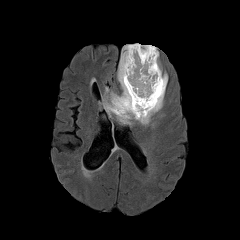
FLAIR MR.
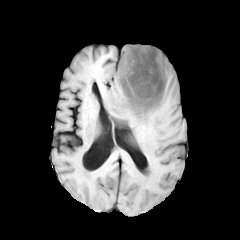
T1-weighted MR image.
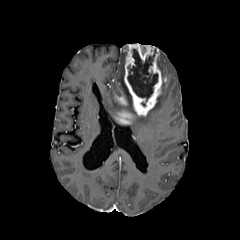
Post-contrast T1-weighted MRI.
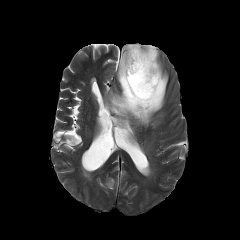
T2-weighted magnetic resonance.
Head
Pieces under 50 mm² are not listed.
peritumoral edema at [130,57,167,125], [103,45,129,116]
necrotic tumor core at [127,49,157,101]
enhancing tumor at [115,43,166,124]